Axial slice
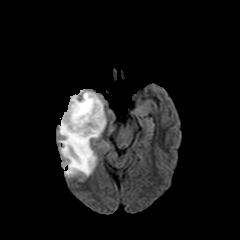
FLAIR MR image.
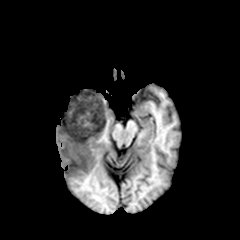
T1-weighted MRI.
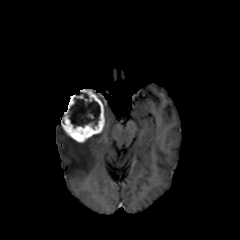
Post-contrast T1-weighted magnetic resonance.
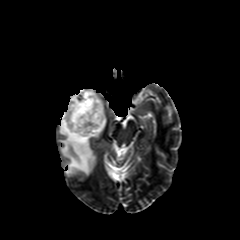
T2-weighted MRI.
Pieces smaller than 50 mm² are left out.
enhancing tumor — box=[61, 89, 105, 142]
necrotic tumor core — box=[69, 98, 100, 127]
peritumoral edema — box=[58, 126, 100, 176]